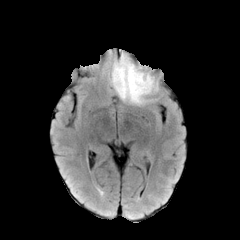
FLAIR MRI.
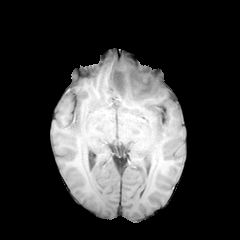
T1-weighted MRI.
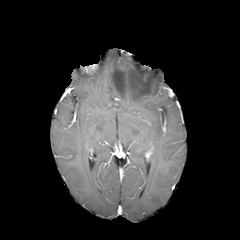
Same slice, post-contrast T1-weighted MRI.
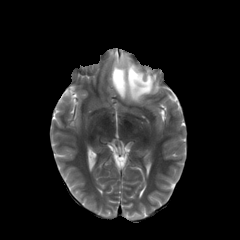
T2-weighted MRI.
Head, Axial view
Annotated regions:
• peritumoral edema: (112, 54, 158, 104)